FLAIR MRI.
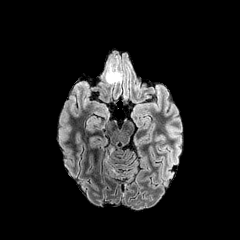
T1-weighted MR.
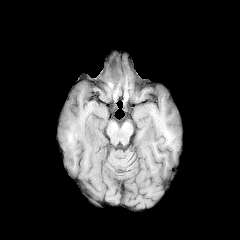
Post-contrast T1-weighted MR.
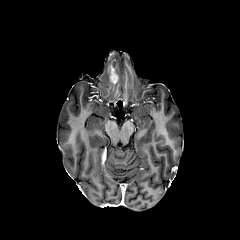
T2-weighted MRI.
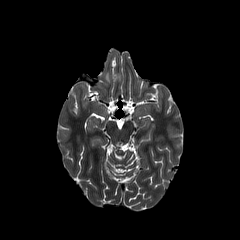
Axial plane | Brain
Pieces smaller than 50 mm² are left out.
enhancing tumor at [101, 149, 105, 162], [111, 74, 118, 83]
peritumoral edema at [106, 73, 120, 83]